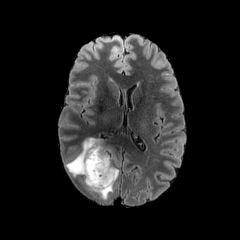
FLAIR magnetic resonance.
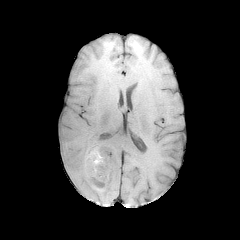
T1-weighted MR.
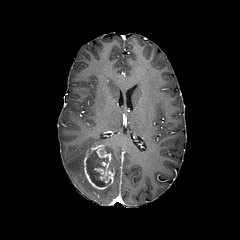
Post-contrast T1-weighted MR.
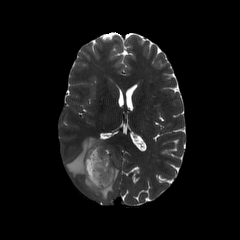
T2-weighted magnetic resonance.
Brain.
necrotic tumor core: bounding box rect(86, 149, 111, 186)
enhancing tumor: bounding box rect(83, 145, 116, 190)
peritumoral edema: bounding box rect(65, 137, 119, 199)